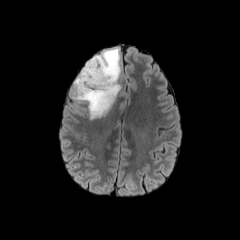
FLAIR MR.
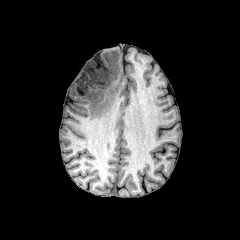
T1-weighted MR.
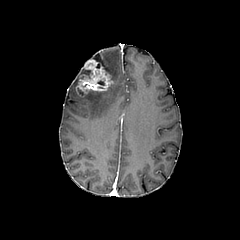
Post-contrast T1-weighted magnetic resonance.
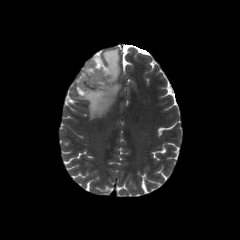
T2-weighted MRI.
240x240 | Axial plane
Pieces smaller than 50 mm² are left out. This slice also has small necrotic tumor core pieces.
enhancing tumor: <box>76,59,113,96</box> | peritumoral edema: <box>74,48,120,119</box>